Image width 240 mm, 1.00 mm slice spacing | Brain | Image size 240x240 | Slice 89/155
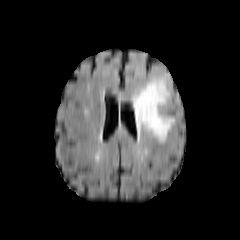
FLAIR MR.
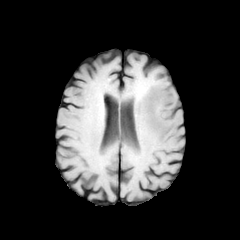
T1-weighted MR.
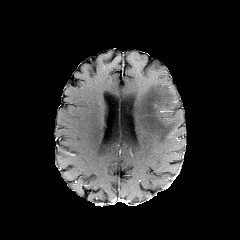
Post-contrast T1-weighted MR.
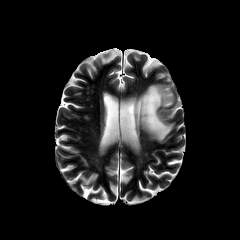
T2-weighted MR image.
peritumoral edema: region(135, 81, 174, 142)